Axial plane, Brain, Image size 240x240, Slice 96 of 155
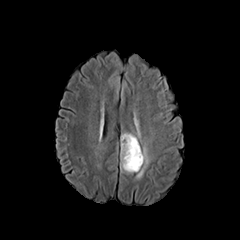
FLAIR magnetic resonance.
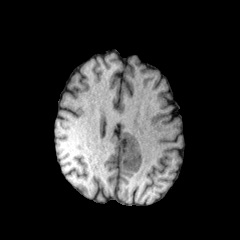
T1-weighted MRI of the same slice.
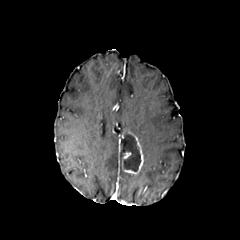
Same slice, post-contrast T1-weighted magnetic resonance.
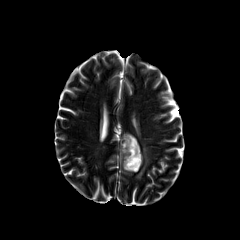
T2-weighted MR image.
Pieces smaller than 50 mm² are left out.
enhancing_tumor:
  - 122,131,143,174
peritumoral_edema:
  - 135,123,141,142
  - 136,145,149,178
necrotic_tumor_core:
  - 121,133,140,171